Slice 81 of 155, 240x240, Head
FLAIR magnetic resonance.
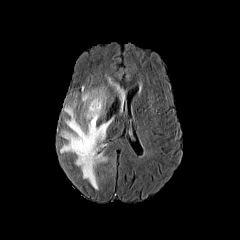
T1-weighted MR image.
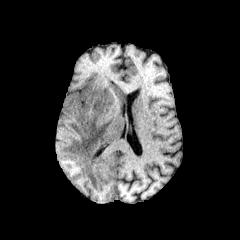
Post-contrast T1-weighted magnetic resonance.
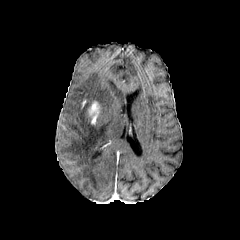
T2-weighted magnetic resonance.
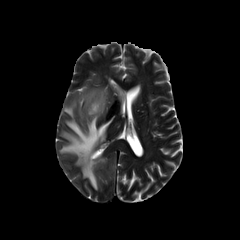
peritumoral_edema:
  - [x1=108, y1=77, x2=125, y2=108]
  - [x1=60, y1=85, x2=113, y2=189]
enhancing_tumor:
  - [x1=88, y1=101, x2=100, y2=124]